Image width 240 mm, 1.00 mm slice spacing, 240x240, Axial plane, Slice index 84, Head
FLAIR MR image.
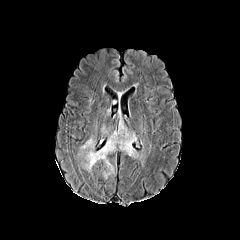
T1-weighted magnetic resonance.
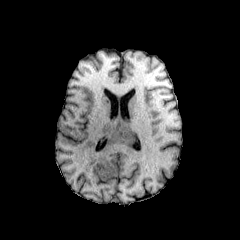
Post-contrast T1-weighted MRI.
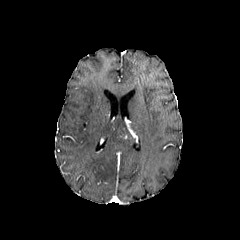
T2-weighted MR image.
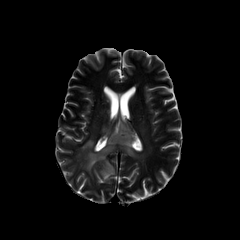
2 peritumoral edema regions appear at <bbox>81, 138, 94, 152</bbox>, <bbox>84, 121, 137, 178</bbox>.